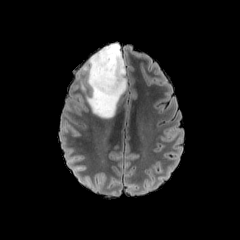
FLAIR MR.
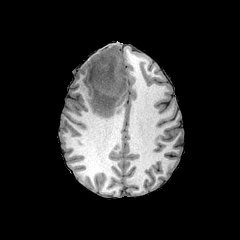
Same slice, T1-weighted MRI.
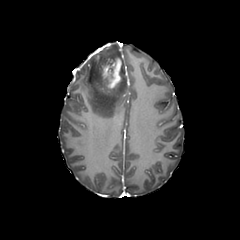
Same slice, post-contrast T1-weighted MR.
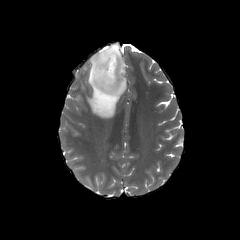
T2-weighted MRI of the same slice.
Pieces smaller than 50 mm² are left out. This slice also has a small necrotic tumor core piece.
{
  "enhancing_tumor": [
    "rect(102, 58, 121, 89)"
  ],
  "peritumoral_edema": [
    "rect(83, 43, 126, 118)"
  ]
}